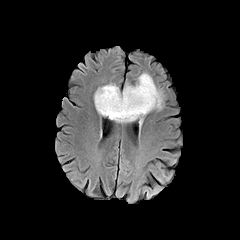
FLAIR magnetic resonance.
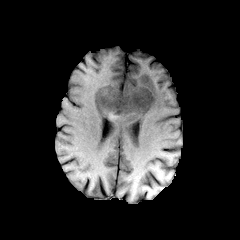
T1-weighted MR of the same slice.
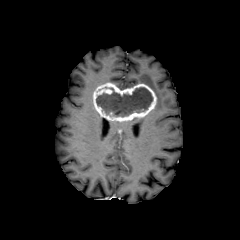
Post-contrast T1-weighted magnetic resonance.
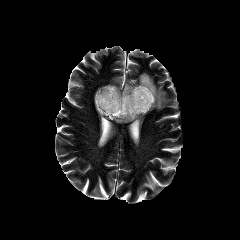
Same slice, T2-weighted MR image.
Head, Axial slice, 240x240
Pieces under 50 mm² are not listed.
necrotic_tumor_core:
  - 96,87,152,116
enhancing_tumor:
  - 93,82,156,123
peritumoral_edema:
  - 137,73,164,110